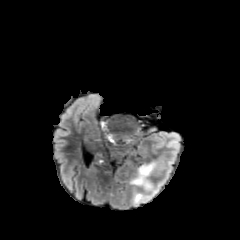
FLAIR MRI.
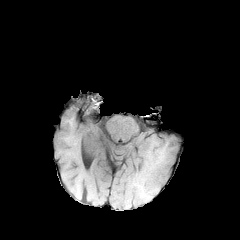
T1-weighted magnetic resonance of the same slice.
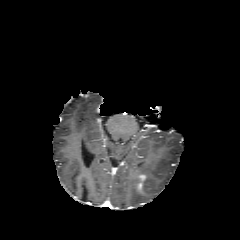
Same slice, post-contrast T1-weighted magnetic resonance.
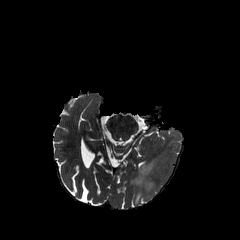
T2-weighted MR.
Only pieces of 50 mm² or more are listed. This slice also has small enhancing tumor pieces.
{
  "peritumoral_edema": [
    "(left=130, top=161, right=155, bottom=204)"
  ]
}